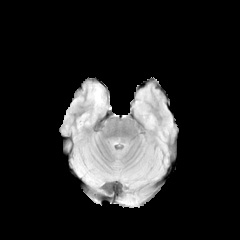
FLAIR magnetic resonance.
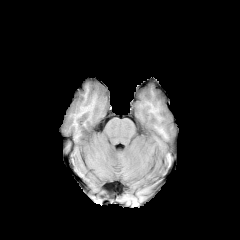
Same slice, T1-weighted MR.
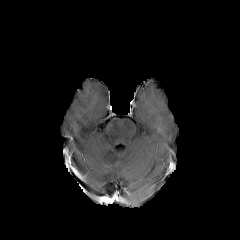
Post-contrast T1-weighted magnetic resonance of the same slice.
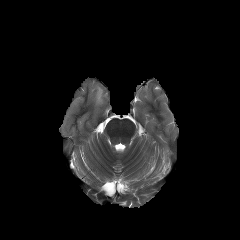
T2-weighted MR of the same slice.
Head
Annotated regions:
- peritumoral edema: 89,85,103,106